Axial view
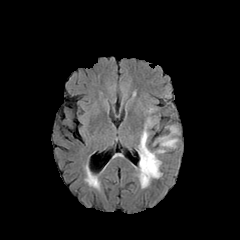
FLAIR MR image.
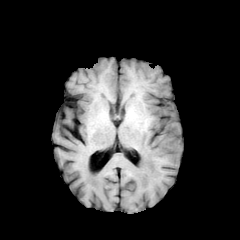
Same slice, T1-weighted magnetic resonance.
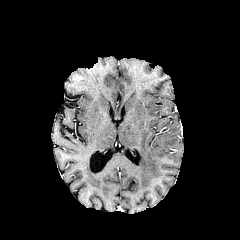
Post-contrast T1-weighted MRI.
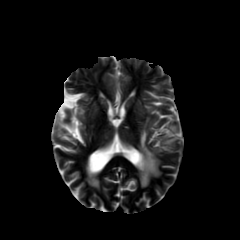
T2-weighted MR of the same slice.
peritumoral edema: 138,125,177,187